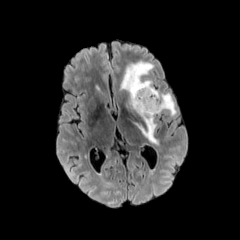
FLAIR magnetic resonance.
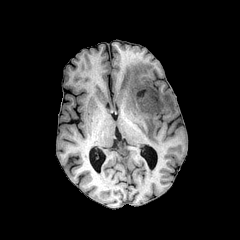
T1-weighted MR image.
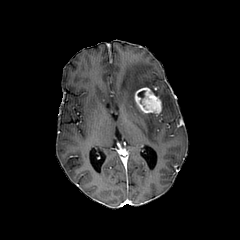
Post-contrast T1-weighted MRI.
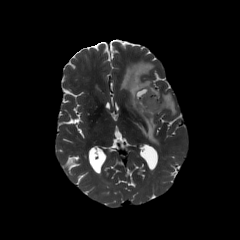
T2-weighted magnetic resonance.
240x240; Axial view
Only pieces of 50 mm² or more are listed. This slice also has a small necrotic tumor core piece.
enhancing_tumor:
  - <bbox>134, 87, 162, 114</bbox>
peritumoral_edema:
  - <bbox>121, 61, 176, 144</bbox>